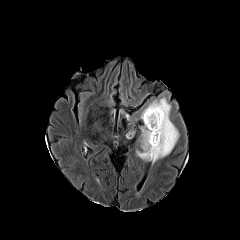
FLAIR MR image.
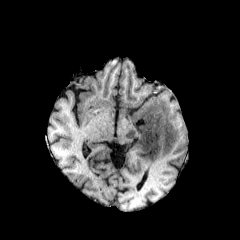
T1-weighted magnetic resonance.
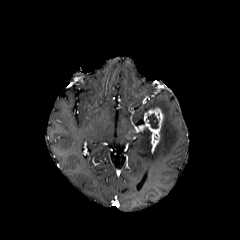
Same slice, post-contrast T1-weighted magnetic resonance.
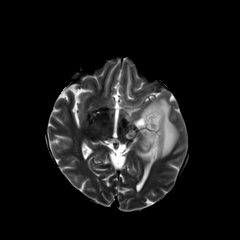
Same slice, T2-weighted MR.
Head, Axial view
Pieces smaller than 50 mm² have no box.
• peritumoral edema: [132,97,179,164]
• necrotic tumor core: [146,114,158,128], [141,127,151,144]
• enhancing tumor: [142,107,163,152]